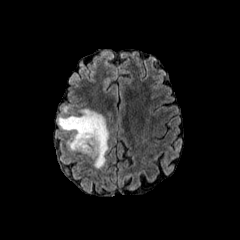
FLAIR MRI.
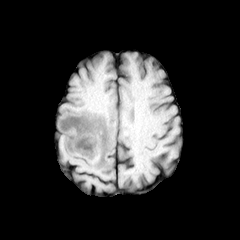
T1-weighted MR image.
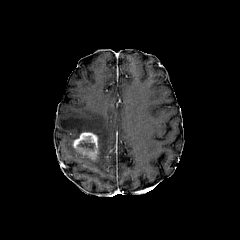
Same slice, post-contrast T1-weighted MR image.
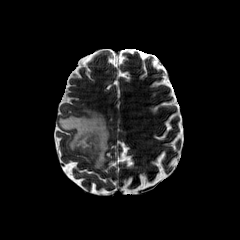
Same slice, T2-weighted magnetic resonance.
Axial view
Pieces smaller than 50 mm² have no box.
enhancing tumor = <box>72,132,98,160</box>
peritumoral edema = <box>58,109,109,168</box>
necrotic tumor core = <box>78,143,94,149</box>